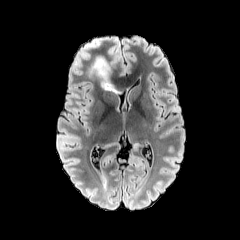
FLAIR magnetic resonance.
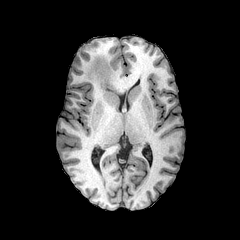
T1-weighted magnetic resonance.
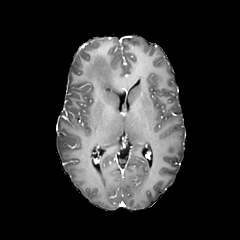
Post-contrast T1-weighted MR image of the same slice.
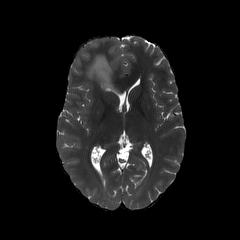
T2-weighted MR.
Axial slice
peritumoral edema = <bbox>88, 56, 117, 93</bbox>